240x240 px. Slice 51 of 155. Brain.
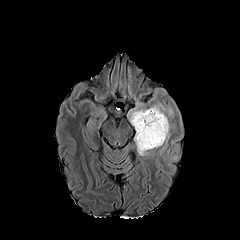
FLAIR MRI.
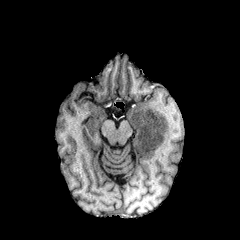
T1-weighted MR.
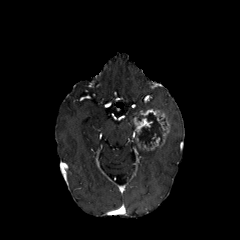
Post-contrast T1-weighted MRI.
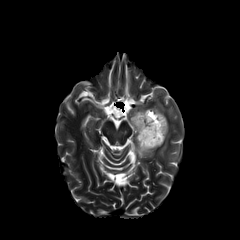
T2-weighted MR image of the same slice.
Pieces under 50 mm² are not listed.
enhancing tumor at 133, 117, 152, 134; 139, 109, 169, 144; 136, 137, 159, 150
necrotic tumor core at 135, 113, 165, 147
peritumoral edema at 151, 104, 163, 110; 137, 146, 146, 155